Brain
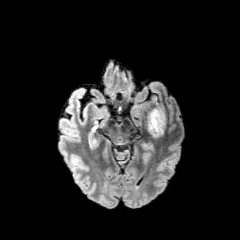
FLAIR magnetic resonance.
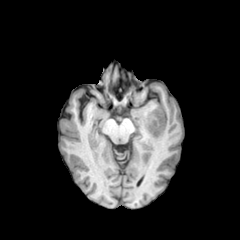
T1-weighted MRI of the same slice.
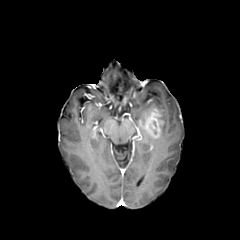
Same slice, post-contrast T1-weighted MRI.
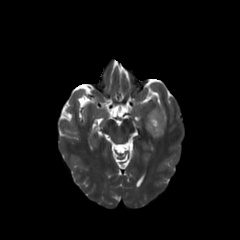
Same slice, T2-weighted MR image.
The enhancing tumor is bounded by 141,108,163,139. The peritumoral edema appears at 157,107,165,135.